Slice 108 of 155 | Brain | Image width 240 mm | 240x240 px
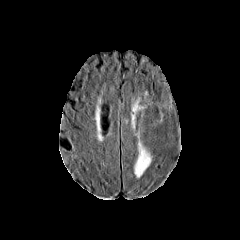
FLAIR magnetic resonance.
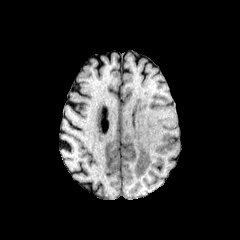
Same slice, T1-weighted MR.
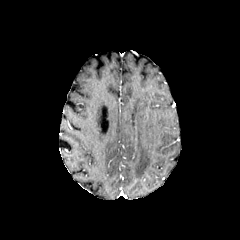
Same slice, post-contrast T1-weighted MR image.
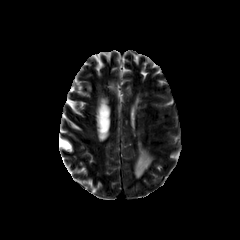
T2-weighted magnetic resonance.
2 peritumoral edema regions are located at bbox(134, 141, 151, 177); bbox(131, 101, 142, 129).